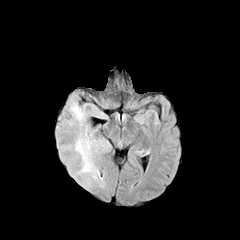
FLAIR magnetic resonance.
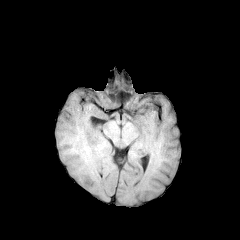
T1-weighted MRI.
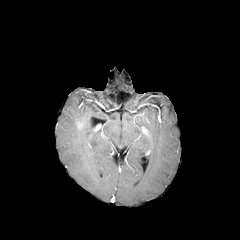
Post-contrast T1-weighted MR image of the same slice.
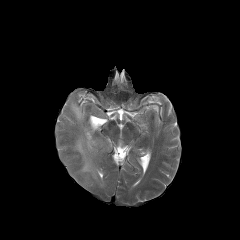
T2-weighted magnetic resonance of the same slice.
Brain.
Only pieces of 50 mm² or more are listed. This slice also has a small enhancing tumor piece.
The peritumoral edema is bounded by 69 101 106 186.